240x240 | Head
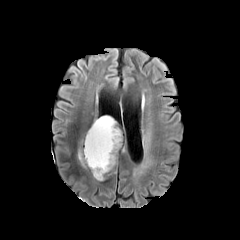
FLAIR MR image.
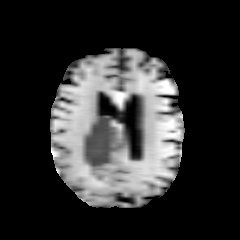
T1-weighted MRI of the same slice.
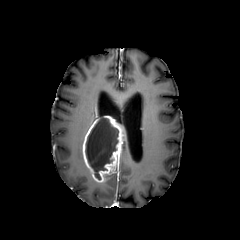
Post-contrast T1-weighted magnetic resonance.
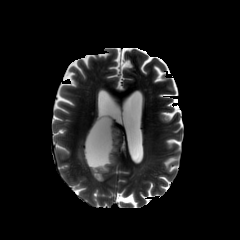
T2-weighted MRI.
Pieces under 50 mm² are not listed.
Segmented structures:
- enhancing tumor: <bbox>82, 116, 124, 182</bbox>
- necrotic tumor core: <bbox>85, 118, 118, 179</bbox>
- peritumoral edema: <bbox>78, 150, 84, 165</bbox>